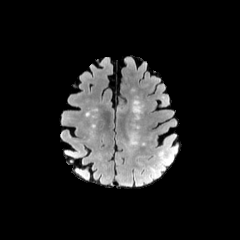
FLAIR MRI.
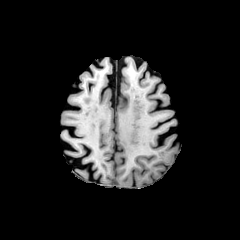
T1-weighted MRI.
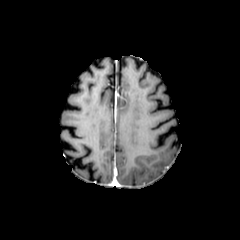
Post-contrast T1-weighted MR.
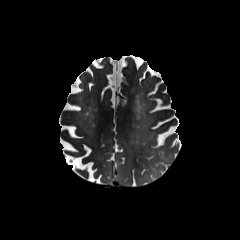
T2-weighted MR image.
240x240 px. Axial view.
peritumoral edema — 119, 179, 142, 187